Image covers 240 mm x 240 mm
FLAIR magnetic resonance.
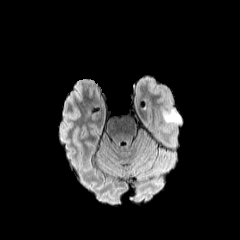
T1-weighted MR image.
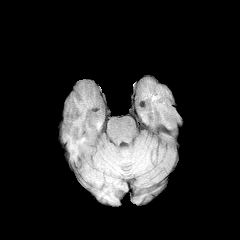
Post-contrast T1-weighted MR.
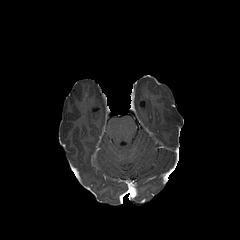
T2-weighted MR.
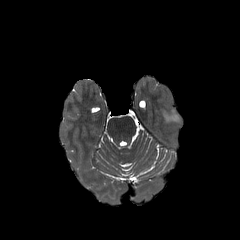
peritumoral edema: bounding box box(164, 111, 181, 123)